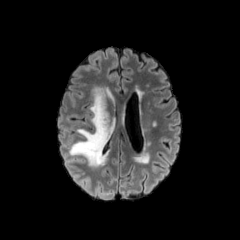
FLAIR magnetic resonance.
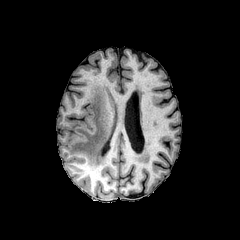
T1-weighted MRI.
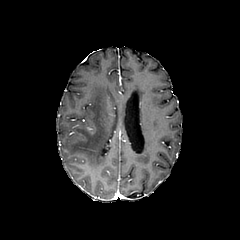
Same slice, post-contrast T1-weighted magnetic resonance.
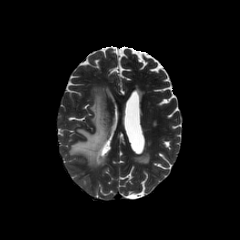
Same slice, T2-weighted magnetic resonance.
Image size 240x240.
<segmentation>
  <peritumoral_edema>x1=69, y1=89, x2=112, y2=166</peritumoral_edema>
</segmentation>